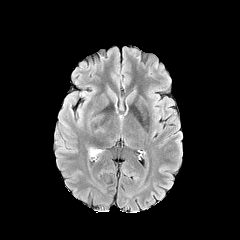
FLAIR magnetic resonance.
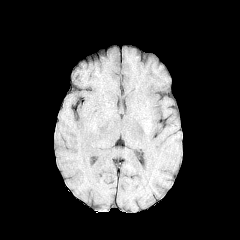
Same slice, T1-weighted MR image.
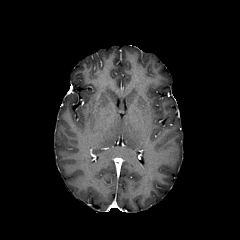
Post-contrast T1-weighted magnetic resonance of the same slice.
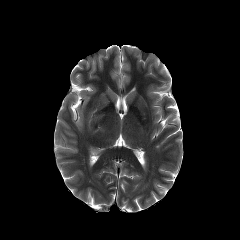
T2-weighted MRI of the same slice.
240x240 | Head
<segmentation>
  <peritumoral_edema>(89,148,102,154)</peritumoral_edema>
</segmentation>